Axial slice, Image width 240 mm, Brain
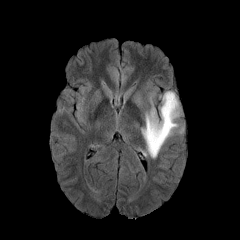
FLAIR MRI.
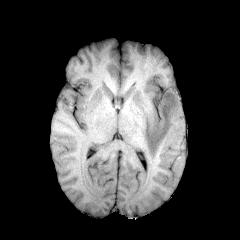
T1-weighted MR image.
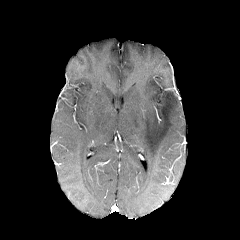
Post-contrast T1-weighted MR image.
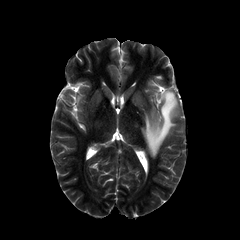
T2-weighted MR image.
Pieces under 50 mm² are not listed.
The largest peritumoral edema region lies within left=141, top=91, right=180, bottom=158.